240x240 px, Brain, Slice 136 of 155
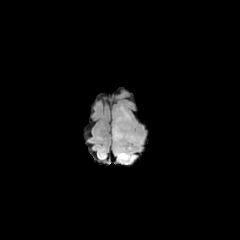
FLAIR magnetic resonance.
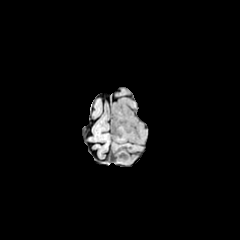
T1-weighted MR.
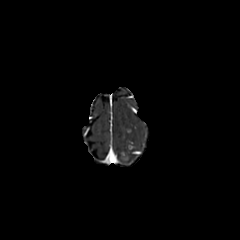
Post-contrast T1-weighted MR.
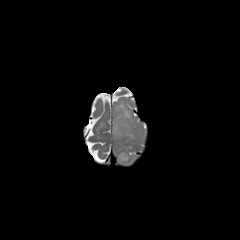
Same slice, T2-weighted MRI.
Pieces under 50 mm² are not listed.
<segmentation>
  <peritumoral_edema>bbox(113, 103, 140, 163)</peritumoral_edema>
  <enhancing_tumor>bbox(121, 152, 128, 160)</enhancing_tumor>
</segmentation>